FLAIR MR image.
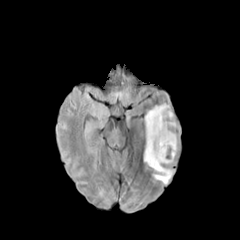
T1-weighted MR image.
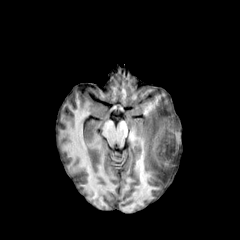
Post-contrast T1-weighted MRI.
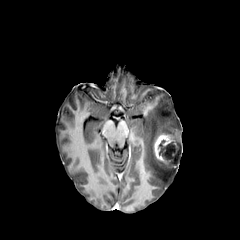
T2-weighted MR.
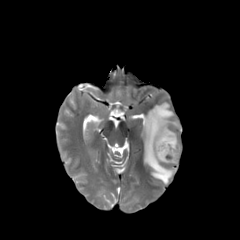
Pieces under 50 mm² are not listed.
necrotic tumor core: bounding box x1=159, y1=140, x2=181, y2=164
enhancing tumor: bounding box x1=154, y1=134, x2=178, y2=168
peritumoral edema: bounding box x1=144, y1=103, x2=180, y2=184